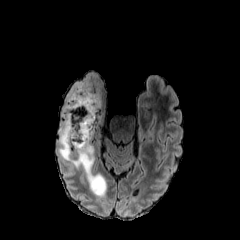
FLAIR magnetic resonance.
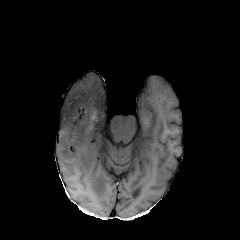
T1-weighted MR image of the same slice.
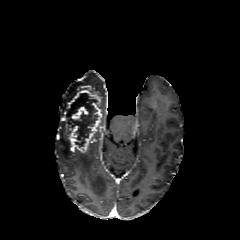
Post-contrast T1-weighted MR image of the same slice.
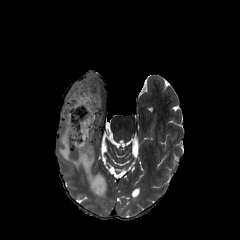
T2-weighted MR image.
Brain.
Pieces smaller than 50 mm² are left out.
enhancing tumor — [x1=67, y1=86, x2=103, y2=152], [x1=72, y1=108, x2=83, y2=119]
peritumoral edema — [x1=59, y1=77, x2=106, y2=196]
necrotic tumor core — [x1=66, y1=93, x2=98, y2=146]